Slice index 58. Image width 240 mm, 1.00 mm slice spacing. Head. Axial slice.
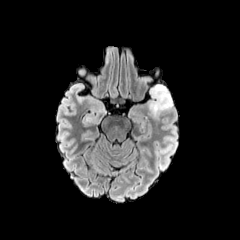
FLAIR MRI.
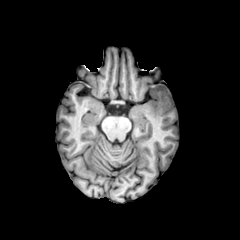
Same slice, T1-weighted MRI.
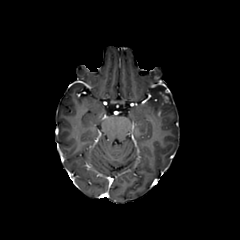
Post-contrast T1-weighted MR of the same slice.
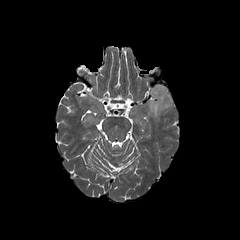
T2-weighted magnetic resonance.
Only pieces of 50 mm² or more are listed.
The largest enhancing tumor region is at <bbox>158, 89, 171, 106</bbox>. The peritumoral edema lies within <bbox>147, 84, 173, 118</bbox>.